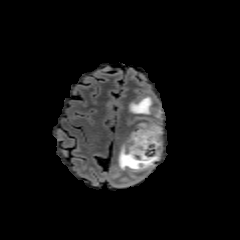
FLAIR MR.
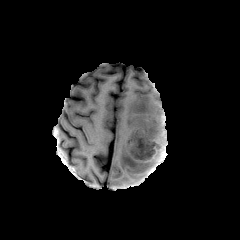
T1-weighted MR.
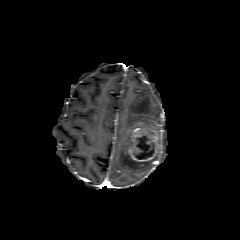
Same slice, post-contrast T1-weighted MR.
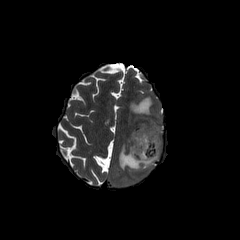
Same slice, T2-weighted MRI.
Brain; 240x240 px
3 peritumoral edema regions are located at 118,138,159,171; 129,96,160,117; 126,116,158,127. The necrotic tumor core is bounded by 133,134,153,159. The enhancing tumor lies within 128,122,162,162.